Image size 240x240. Brain. Slice 134 of 155. Axial view.
FLAIR MR.
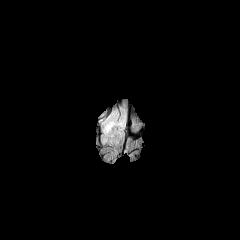
T1-weighted MRI.
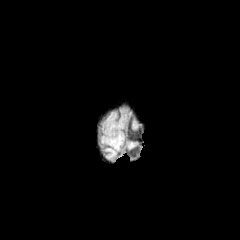
Post-contrast T1-weighted MR.
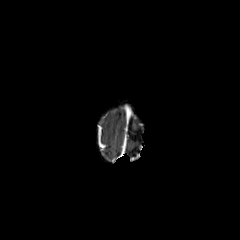
T2-weighted magnetic resonance.
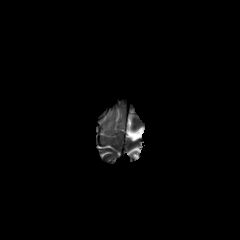
peritumoral_edema:
  - x1=103, y1=116, x2=124, y2=134